Image width 240 mm, 1.00 mm slice spacing, Head
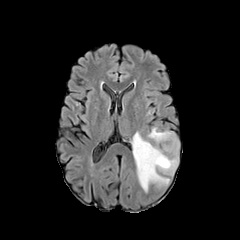
FLAIR MR image.
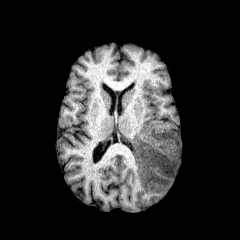
T1-weighted MRI of the same slice.
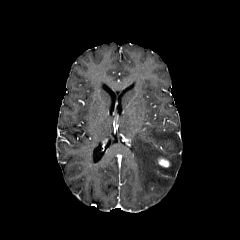
Post-contrast T1-weighted MR image.
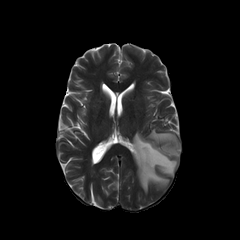
Same slice, T2-weighted MRI.
Annotated regions:
- peritumoral edema: box(132, 128, 179, 192)
- enhancing tumor: box(158, 157, 170, 167)